240x240. Axial slice.
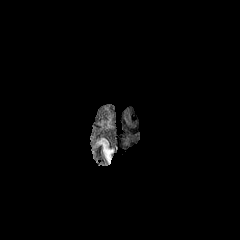
FLAIR MR.
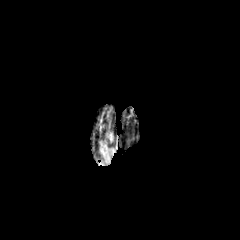
Same slice, T1-weighted magnetic resonance.
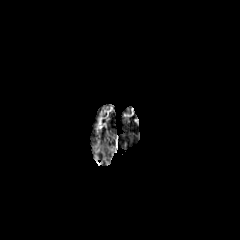
Same slice, post-contrast T1-weighted MR image.
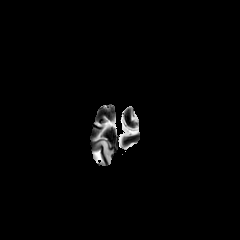
Same slice, T2-weighted MR.
peritumoral edema at x1=97, y1=139, x2=113, y2=164